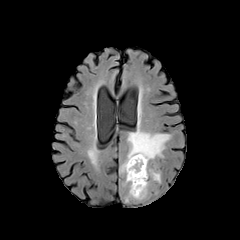
FLAIR magnetic resonance.
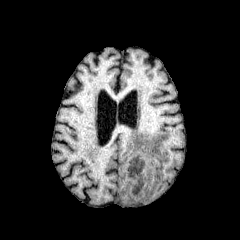
T1-weighted MR.
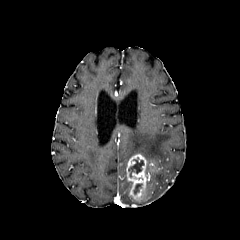
Post-contrast T1-weighted MR.
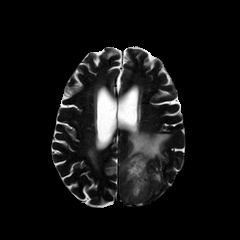
T2-weighted magnetic resonance.
Brain
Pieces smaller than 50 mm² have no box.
necrotic tumor core: (128, 160, 144, 176), (134, 184, 142, 194) | enhancing tumor: (126, 154, 149, 201) | peritumoral edema: (120, 127, 170, 172), (148, 169, 160, 182)